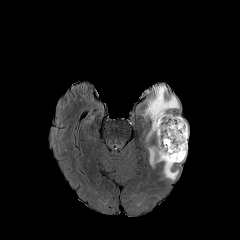
FLAIR MR.
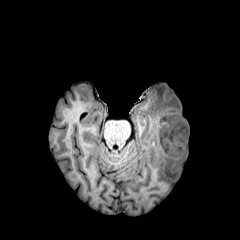
T1-weighted magnetic resonance.
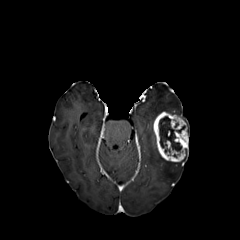
Post-contrast T1-weighted magnetic resonance.
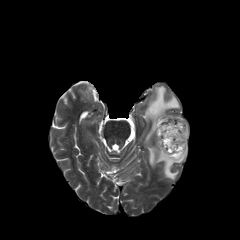
T2-weighted MR of the same slice.
Brain
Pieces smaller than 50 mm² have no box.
enhancing tumor: [153, 111, 188, 162]
peritumoral edema: [149, 147, 178, 179], [145, 86, 178, 138]
necrotic tumor core: [159, 117, 181, 151]